Image size 240x240; Slice index 93; Head; Image covers 240 mm x 240 mm
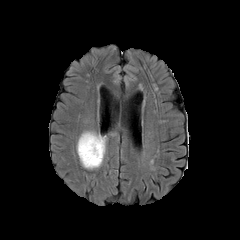
FLAIR MR.
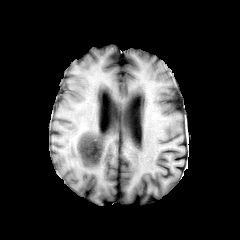
T1-weighted MRI of the same slice.
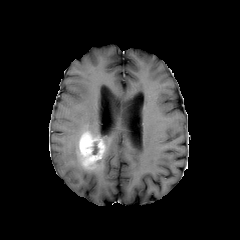
Post-contrast T1-weighted MR.
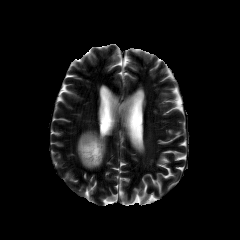
Same slice, T2-weighted magnetic resonance.
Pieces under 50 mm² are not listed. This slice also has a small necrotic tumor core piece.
{
  "enhancing_tumor": [
    "rect(78, 132, 105, 169)"
  ],
  "peritumoral_edema": [
    "rect(79, 130, 100, 138)",
    "rect(95, 136, 106, 168)"
  ]
}